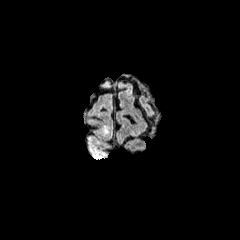
FLAIR MR.
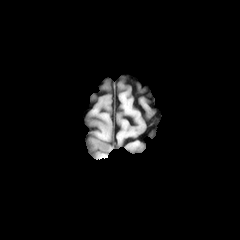
T1-weighted MRI.
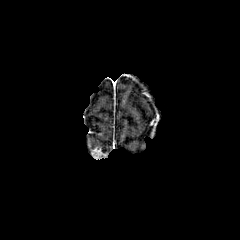
Post-contrast T1-weighted MR image of the same slice.
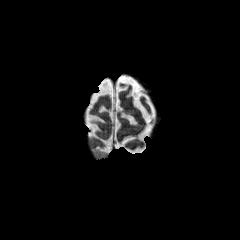
T2-weighted MR image of the same slice.
240x240 | Brain
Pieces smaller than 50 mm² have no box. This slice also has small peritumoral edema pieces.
enhancing_tumor:
  - bbox(90, 147, 107, 159)